FLAIR MR.
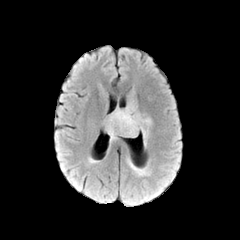
T1-weighted MR image.
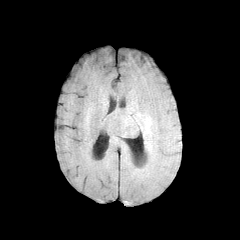
Post-contrast T1-weighted MR image.
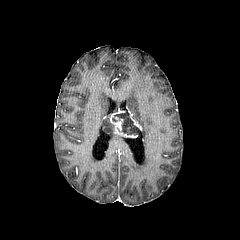
T2-weighted MR image.
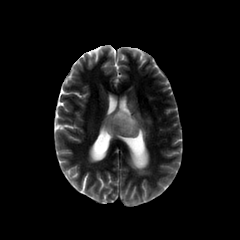
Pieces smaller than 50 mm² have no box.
peritumoral_edema:
  - 105:116:116:140
  - 133:112:150:145
  - 127:103:135:113
necrotic_tumor_core:
  - 112:108:139:134
enhancing_tumor:
  - 131:116:141:130
  - 110:109:137:137